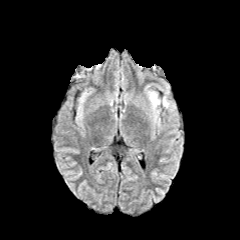
FLAIR MR.
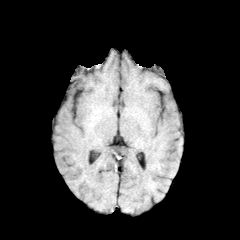
T1-weighted MR image.
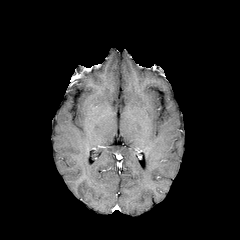
Post-contrast T1-weighted MRI.
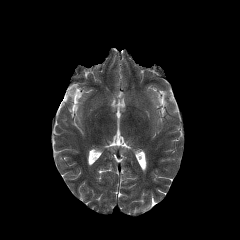
T2-weighted MRI of the same slice.
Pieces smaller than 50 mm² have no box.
The largest peritumoral edema region is located at left=151, top=93, right=159, bottom=104.